240x240 px; Slice 66/155
FLAIR magnetic resonance.
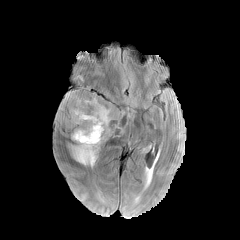
T1-weighted MRI.
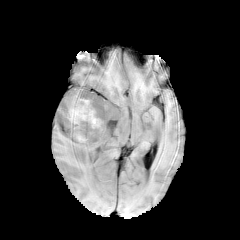
Post-contrast T1-weighted MR.
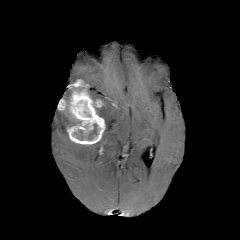
T2-weighted MR image.
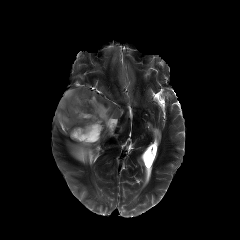
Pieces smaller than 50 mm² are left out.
• enhancing tumor: (58,79,105,144)
• peritumoral edema: (63,85,74,102), (95,105,112,134), (70,133,105,166), (56,109,81,126)
• necrotic tumor core: (75,123,97,140)